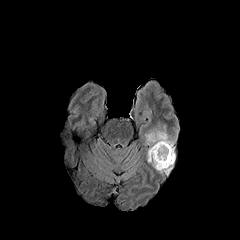
FLAIR magnetic resonance.
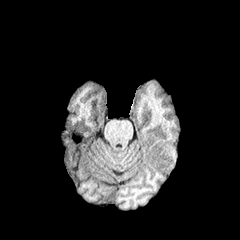
T1-weighted magnetic resonance.
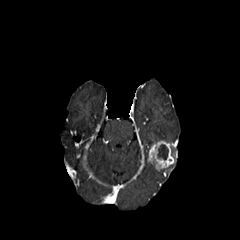
Same slice, post-contrast T1-weighted MRI.
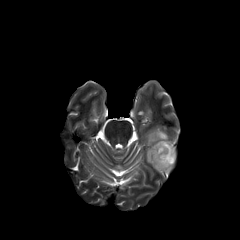
T2-weighted magnetic resonance.
Image size 240x240. Axial slice. Head.
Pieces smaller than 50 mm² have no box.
The largest peritumoral edema region is located at l=145, t=125, r=173, b=145. The necrotic tumor core appears at l=157, t=144, r=168, b=159. The enhancing tumor lies within l=148, t=140, r=175, b=173.